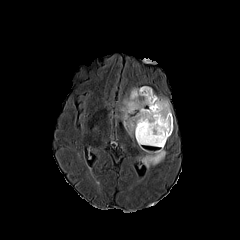
FLAIR MR image.
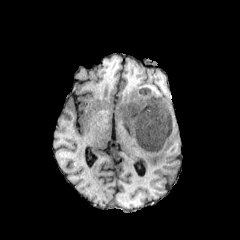
T1-weighted MRI.
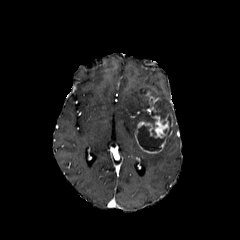
Same slice, post-contrast T1-weighted MR.
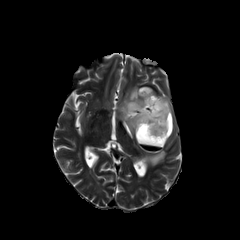
Same slice, T2-weighted MR image.
Head
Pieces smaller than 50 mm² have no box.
Segmented structures:
• necrotic tumor core: (x1=137, y1=125, x2=165, y2=151)
• enhancing tumor: (x1=135, y1=114, x2=172, y2=153), (x1=145, y1=92, x2=157, y2=114)
• peritumoral edema: (x1=119, y1=86, x2=171, y2=137), (x1=142, y1=149, x2=165, y2=167)